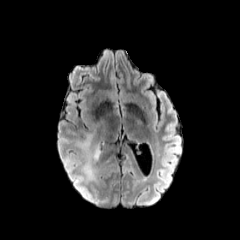
FLAIR MR.
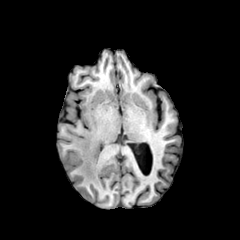
T1-weighted magnetic resonance.
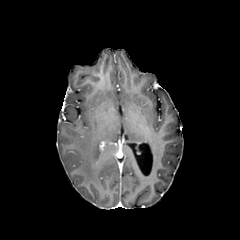
Same slice, post-contrast T1-weighted MRI.
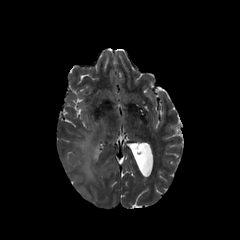
T2-weighted MR image of the same slice.
Head, Axial slice
peritumoral edema: 77, 134, 100, 181